FLAIR MRI.
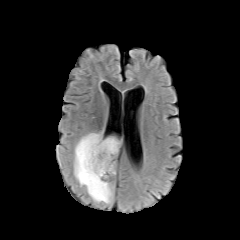
T1-weighted MRI.
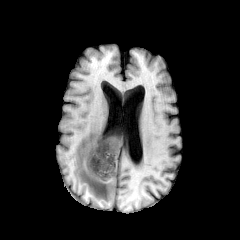
Post-contrast T1-weighted magnetic resonance.
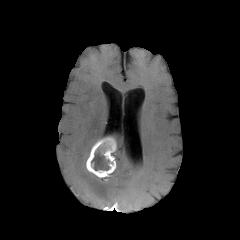
T2-weighted MR.
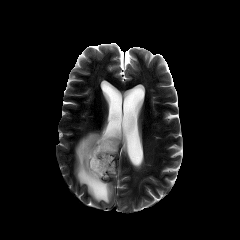
Head
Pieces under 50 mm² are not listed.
The enhancing tumor is bounded by x1=86 y1=136 x2=116 y2=177. The necrotic tumor core is at x1=91 y1=141 x2=112 y2=171. The 2 largest peritumoral edema regions are located at x1=73 y1=130 x2=114 y2=206, x1=111 y1=136 x2=121 y2=158.